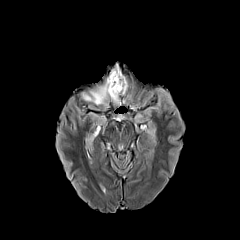
FLAIR MR.
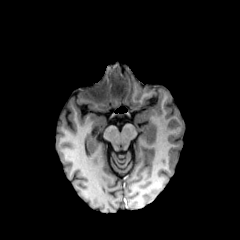
T1-weighted MRI.
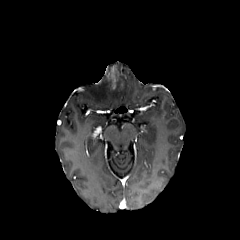
Post-contrast T1-weighted MR of the same slice.
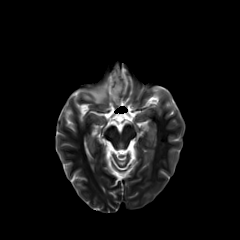
Same slice, T2-weighted MR image.
peritumoral edema at [x1=82, y1=64, x2=127, y2=104]
enhancing tumor at [x1=109, y1=68, x2=122, y2=89]